Slice 100 of 155, Axial slice, Brain, Image covers 240 mm x 240 mm
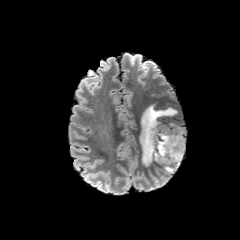
FLAIR MRI.
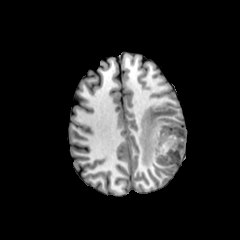
T1-weighted MRI.
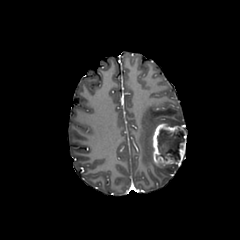
Same slice, post-contrast T1-weighted MRI.
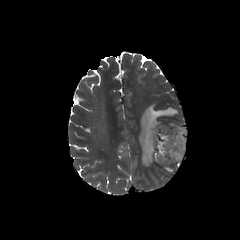
T2-weighted magnetic resonance.
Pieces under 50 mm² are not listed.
necrotic tumor core: 157:128:184:161 | peritumoral edema: 139:104:178:165, 163:164:178:173 | enhancing tumor: 152:123:186:165